FLAIR MR.
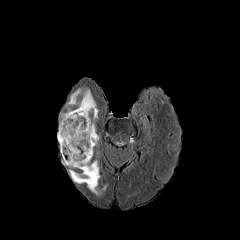
T1-weighted MRI.
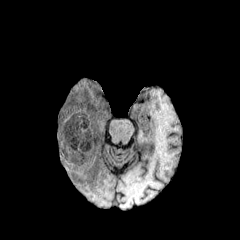
Post-contrast T1-weighted MRI.
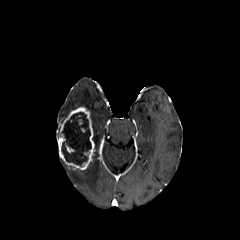
T2-weighted MRI.
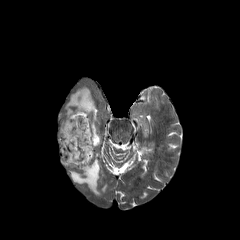
Head
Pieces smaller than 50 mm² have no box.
enhancing tumor: bounding box 58,107,94,170
necrotic tumor core: bounding box 61,112,91,165
peritumoral edema: bounding box 69,160,100,194; 62,88,99,145